FLAIR MR image.
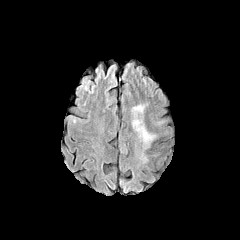
T1-weighted magnetic resonance.
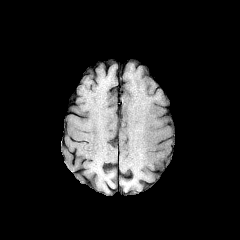
Post-contrast T1-weighted MR image.
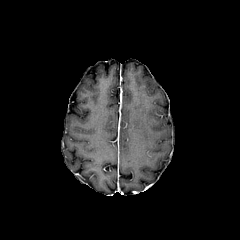
T2-weighted MR.
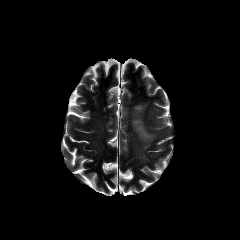
Head; Axial plane
peritumoral_edema:
  - (131,104,156,148)